FLAIR MR image.
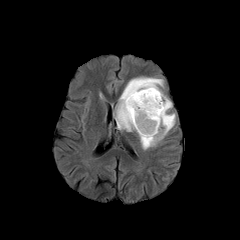
T1-weighted magnetic resonance.
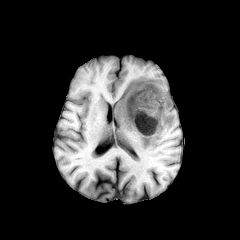
Post-contrast T1-weighted MRI.
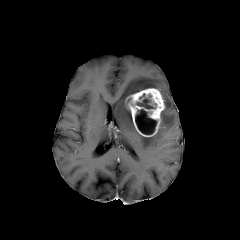
T2-weighted MR image.
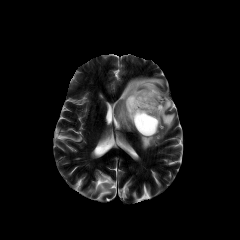
Axial view.
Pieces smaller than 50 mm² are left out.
{
  "peritumoral_edema": [
    "<bbox>114, 77, 175, 149</bbox>"
  ],
  "enhancing_tumor": [
    "<bbox>125, 88, 165, 136</bbox>"
  ],
  "necrotic_tumor_core": [
    "<bbox>137, 98, 155, 108</bbox>",
    "<bbox>135, 109, 156, 134</bbox>"
  ]
}